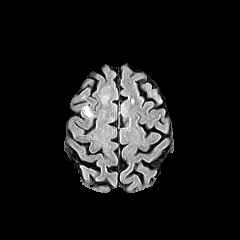
FLAIR magnetic resonance.
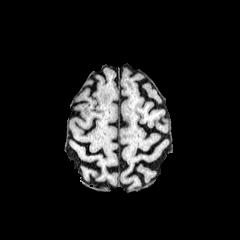
T1-weighted MR image of the same slice.
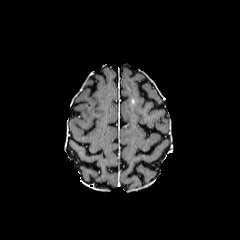
Post-contrast T1-weighted magnetic resonance.
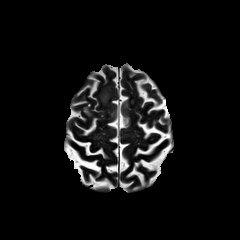
T2-weighted MR.
Brain. Image size 240x240. Axial slice.
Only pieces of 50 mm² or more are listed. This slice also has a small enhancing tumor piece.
The peritumoral edema is at x1=83, y1=106, x2=91, y2=116.